Brain | Slice 133/155
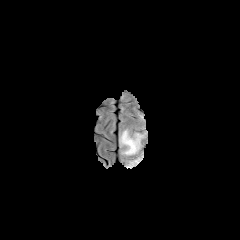
FLAIR MR image.
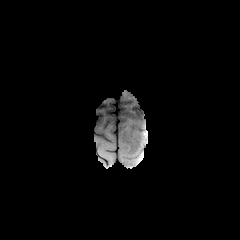
T1-weighted MRI.
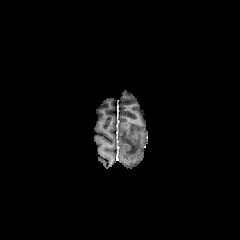
Same slice, post-contrast T1-weighted magnetic resonance.
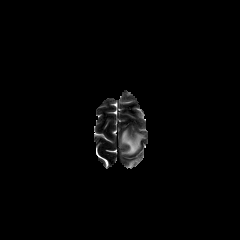
T2-weighted MR image of the same slice.
2 peritumoral edema regions are bounded by (x1=126, y1=158, x2=140, y2=168), (x1=120, y1=130, x2=143, y2=155).